Axial plane, 240x240, Brain
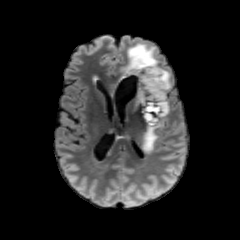
FLAIR MR image.
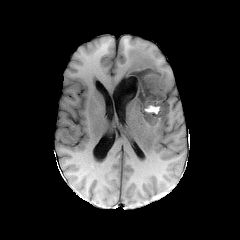
T1-weighted MRI of the same slice.
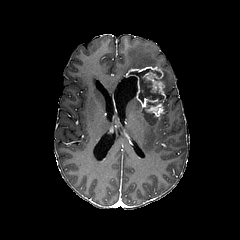
Same slice, post-contrast T1-weighted MRI.
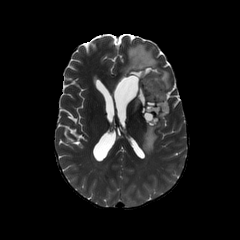
Same slice, T2-weighted MR.
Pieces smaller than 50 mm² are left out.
necrotic tumor core: 144,113,156,125; 128,69,163,102 | enhancing tumor: 124,65,166,122 | peritumoral edema: 161,100,169,117; 142,121,162,152; 161,68,170,92; 120,42,158,80